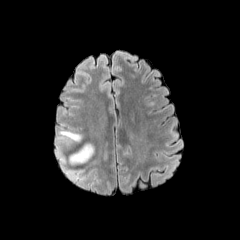
FLAIR MRI.
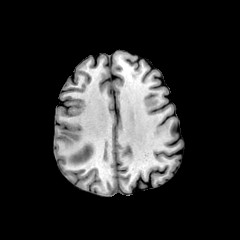
T1-weighted MRI.
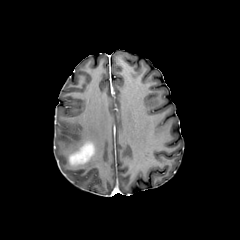
Post-contrast T1-weighted magnetic resonance of the same slice.
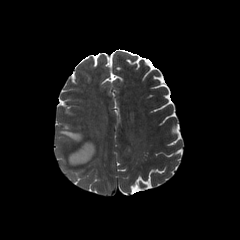
T2-weighted MRI.
Brain. 240x240.
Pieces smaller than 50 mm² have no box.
enhancing tumor — {"x1": 68, "y1": 142, "x2": 94, "y2": 166}
peritumoral edema — {"x1": 56, "y1": 150, "x2": 82, "y2": 178}, {"x1": 58, "y1": 130, "x2": 83, "y2": 144}